Brain, 240x240
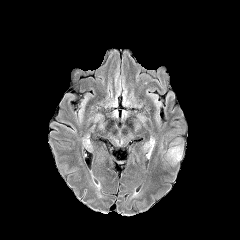
FLAIR MRI.
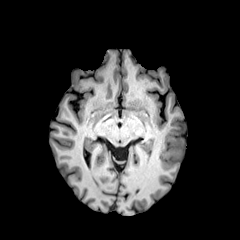
Same slice, T1-weighted MRI.
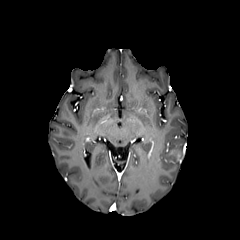
Post-contrast T1-weighted MRI.
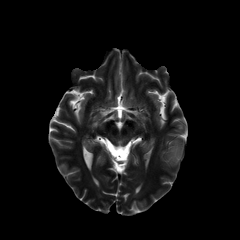
T2-weighted magnetic resonance.
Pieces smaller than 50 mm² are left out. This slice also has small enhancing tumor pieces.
peritumoral edema = x1=169, y1=147, x2=181, y2=161